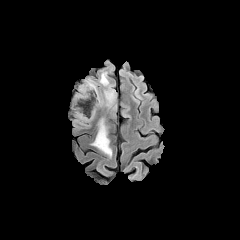
FLAIR MR.
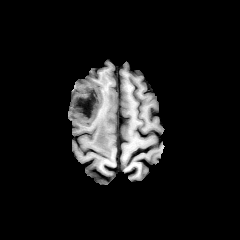
Same slice, T1-weighted MR image.
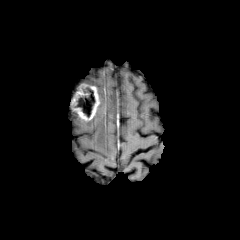
Post-contrast T1-weighted MR of the same slice.
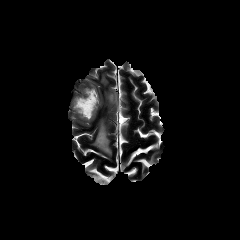
T2-weighted MR image.
Brain.
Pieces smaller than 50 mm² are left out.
The necrotic tumor core is at left=74, top=87, right=95, bottom=117. The 4 largest peritumoral edema regions appear at left=105, top=89, right=115, bottom=106; left=92, top=119, right=111, bottom=156; left=100, top=72, right=108, bottom=85; left=86, top=79, right=95, bottom=85. The enhancing tumor is bounded by left=71, top=83, right=100, bottom=121.